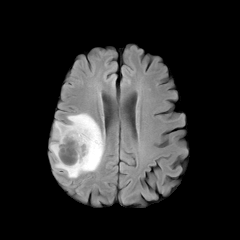
FLAIR MRI.
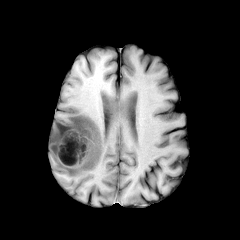
T1-weighted MR of the same slice.
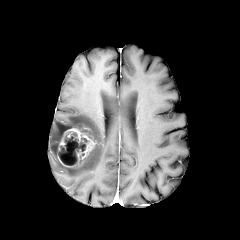
Same slice, post-contrast T1-weighted MR image.
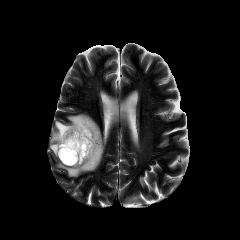
T2-weighted magnetic resonance.
Head; 240x240; Axial plane
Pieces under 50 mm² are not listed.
Segmented structures:
• enhancing tumor: bbox=[57, 125, 96, 167]
• peritumoral edema: bbox=[50, 113, 105, 178]
• necrotic tumor core: bbox=[76, 127, 90, 138]; bbox=[59, 133, 87, 164]